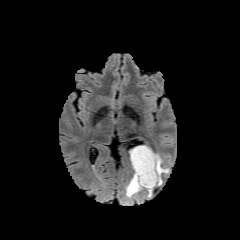
FLAIR MRI.
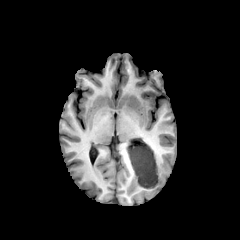
Same slice, T1-weighted MR image.
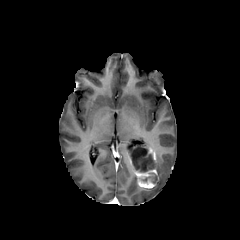
Same slice, post-contrast T1-weighted MR.
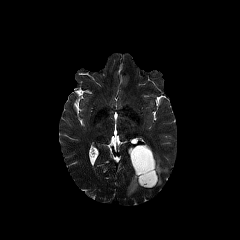
T2-weighted MR of the same slice.
Axial slice. 240x240.
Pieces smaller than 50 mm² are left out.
peritumoral edema: (156, 154, 168, 185), (126, 174, 142, 197) | enhancing tumor: (129, 150, 157, 188), (131, 145, 156, 162) | necrotic tumor core: (130, 147, 155, 171)